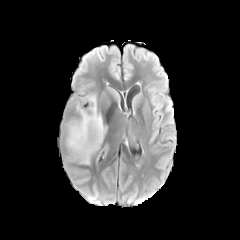
FLAIR MRI.
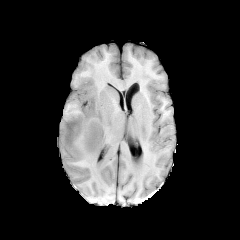
T1-weighted magnetic resonance.
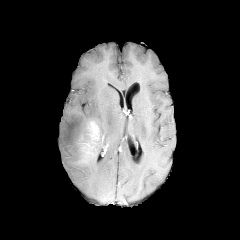
Post-contrast T1-weighted MRI of the same slice.
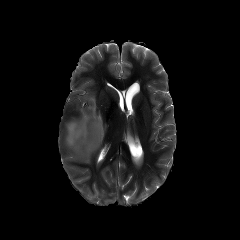
T2-weighted MR.
Brain; Axial slice
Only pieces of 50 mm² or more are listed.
peritumoral_edema:
  - {"x1": 65, "y1": 95, "x2": 106, "y2": 164}
enhancing_tumor:
  - {"x1": 79, "y1": 121, "x2": 103, "y2": 158}